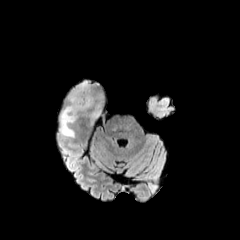
FLAIR MR.
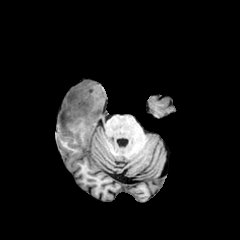
Same slice, T1-weighted MR.
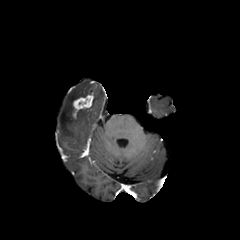
Post-contrast T1-weighted MRI.
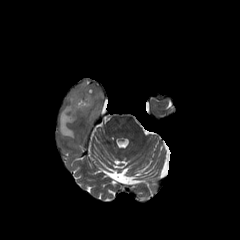
T2-weighted MR image.
Brain.
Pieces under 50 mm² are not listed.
{"enhancing_tumor": [{"x1": 72, "y1": 91, "x2": 93, "y2": 118}], "peritumoral_edema": [{"x1": 60, "y1": 81, "x2": 103, "y2": 137}]}